Axial plane
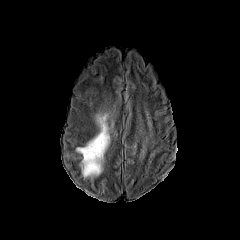
FLAIR MRI.
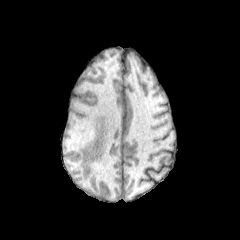
T1-weighted magnetic resonance of the same slice.
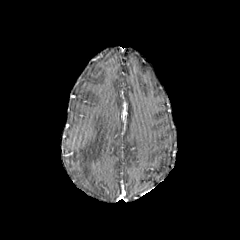
Post-contrast T1-weighted MR.
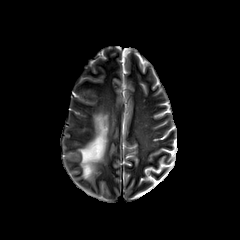
T2-weighted MRI of the same slice.
peritumoral edema at rect(77, 114, 109, 177)